FLAIR magnetic resonance.
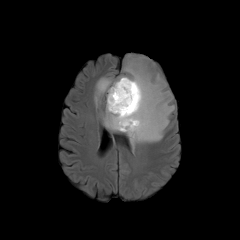
T1-weighted MR image.
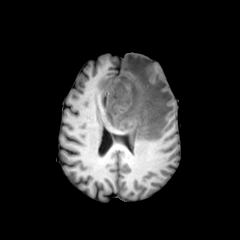
Post-contrast T1-weighted MR image.
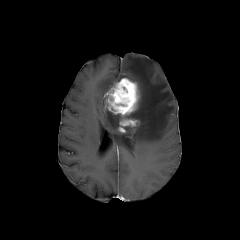
T2-weighted MR image.
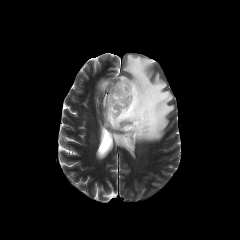
240x240 px. Axial view.
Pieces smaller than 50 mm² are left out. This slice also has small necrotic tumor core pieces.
The 2 largest peritumoral edema regions appear at 103 107 120 131, 94 55 174 148. The enhancing tumor is at 105 78 139 132.